Slice 92/155, Head
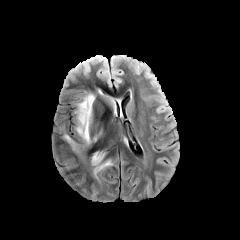
FLAIR MRI.
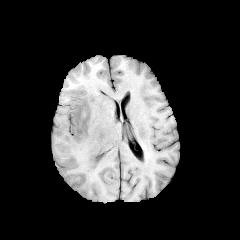
Same slice, T1-weighted MR image.
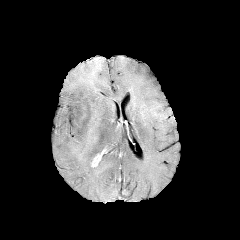
Post-contrast T1-weighted MRI.
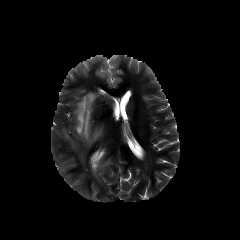
T2-weighted MR.
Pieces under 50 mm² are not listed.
peritumoral edema = {"x1": 93, "y1": 154, "x2": 112, "y2": 175}, {"x1": 64, "y1": 133, "x2": 76, "y2": 149}, {"x1": 74, "y1": 92, "x2": 101, "y2": 145}